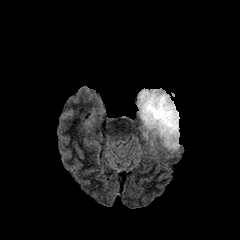
FLAIR MRI.
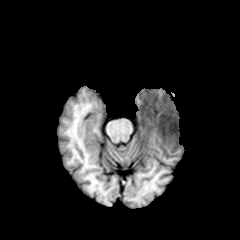
T1-weighted MR image.
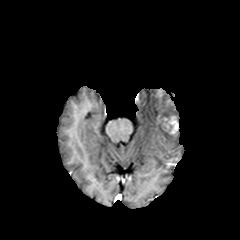
Post-contrast T1-weighted magnetic resonance.
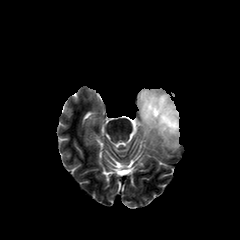
Same slice, T2-weighted magnetic resonance.
Axial slice.
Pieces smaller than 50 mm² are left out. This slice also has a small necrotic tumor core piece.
{"enhancing_tumor": ["160, 116, 178, 134"], "peritumoral_edema": ["137, 88, 179, 150"]}